Slice 61/155; Image size 240x240; Axial slice
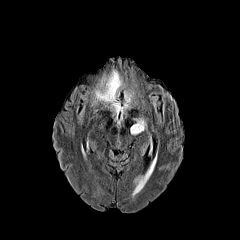
FLAIR magnetic resonance.
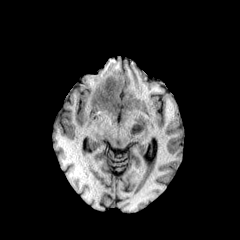
T1-weighted magnetic resonance.
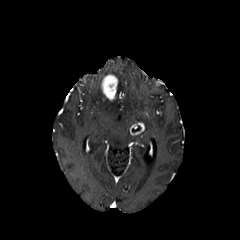
Same slice, post-contrast T1-weighted MRI.
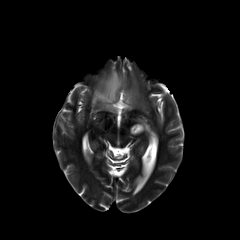
T2-weighted MR image.
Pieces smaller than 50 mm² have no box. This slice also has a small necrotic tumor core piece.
peritumoral edema: (92,68,134,118) | enhancing tumor: (101,74,117,101), (130,122,144,135)